Brain. Axial view. Slice 129/155. Image width 240 mm.
FLAIR magnetic resonance.
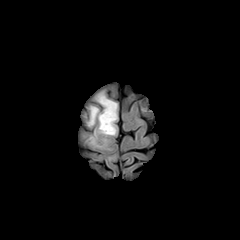
T1-weighted MRI.
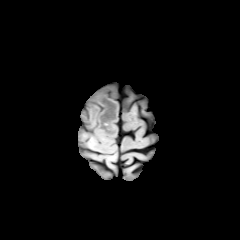
Post-contrast T1-weighted magnetic resonance.
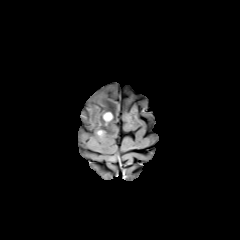
T2-weighted magnetic resonance.
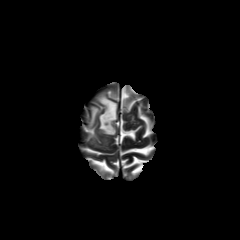
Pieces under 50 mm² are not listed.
<segmentation>
  <enhancing_tumor>(left=103, top=112, right=112, bottom=121)</enhancing_tumor>
  <peritumoral_edema>(left=87, top=91, right=117, bottom=146)</peritumoral_edema>
</segmentation>